FLAIR magnetic resonance.
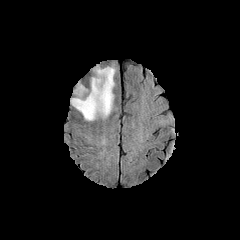
T1-weighted MR image.
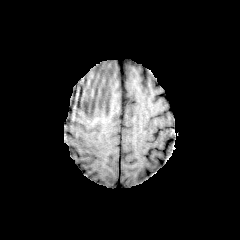
Post-contrast T1-weighted MR.
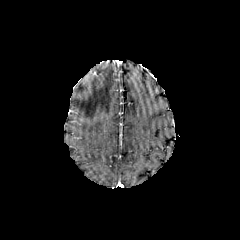
T2-weighted MRI.
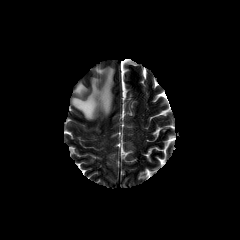
Image size 240x240. Axial view.
peritumoral edema: (x1=71, y1=66, x2=115, y2=120)